Image width 240 mm, 1.00 mm slice spacing; Head; Axial view
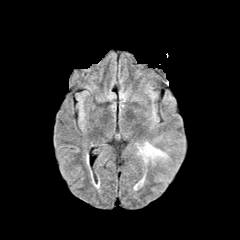
FLAIR magnetic resonance.
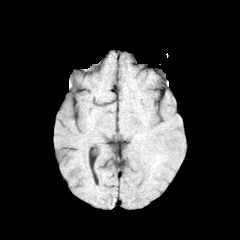
T1-weighted MRI.
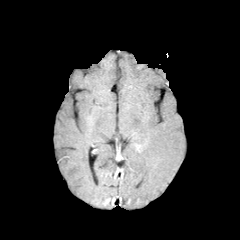
Post-contrast T1-weighted magnetic resonance.
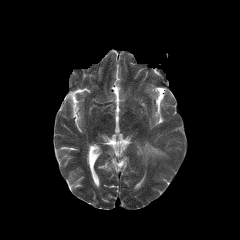
T2-weighted MR of the same slice.
The peritumoral edema appears at left=139, top=143, right=165, bottom=157.